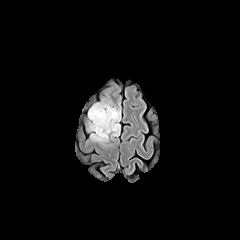
FLAIR MR image.
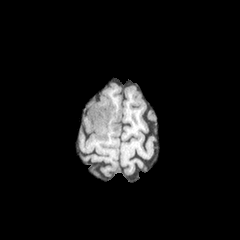
T1-weighted MR image.
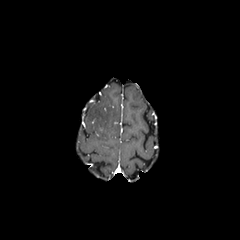
Post-contrast T1-weighted magnetic resonance.
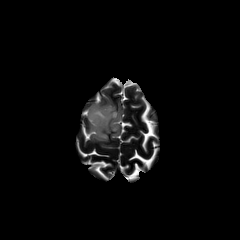
T2-weighted MR image of the same slice.
Axial view | 240x240 px
<segmentation>
  <peritumoral_edema>rect(88, 102, 120, 143)</peritumoral_edema>
</segmentation>